Brain, Slice 114 of 155
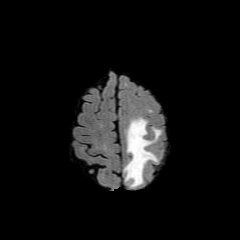
FLAIR MRI.
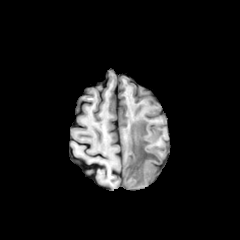
T1-weighted MR of the same slice.
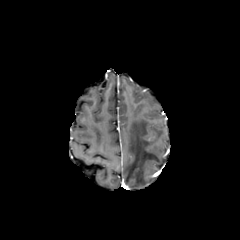
Same slice, post-contrast T1-weighted MRI.
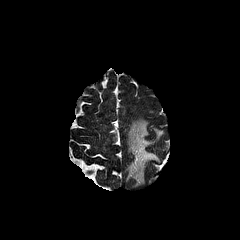
Same slice, T2-weighted MRI.
peritumoral edema: [124,118,161,186]